Axial view | Head | 240x240 px | Slice index 64
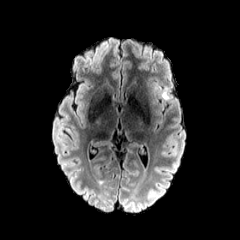
FLAIR MR.
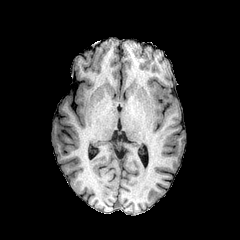
T1-weighted magnetic resonance of the same slice.
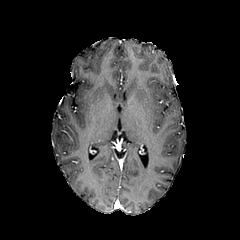
Post-contrast T1-weighted MR of the same slice.
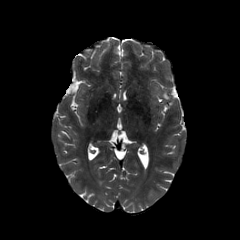
T2-weighted magnetic resonance.
peritumoral edema = (161,88,169,100)